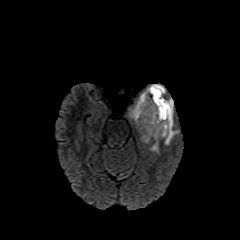
FLAIR MR.
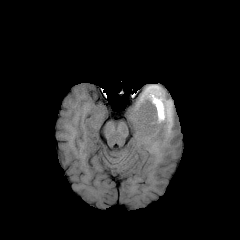
Same slice, T1-weighted MR image.
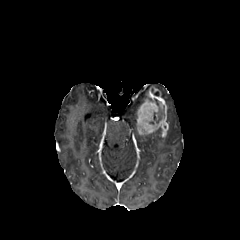
Post-contrast T1-weighted MRI.
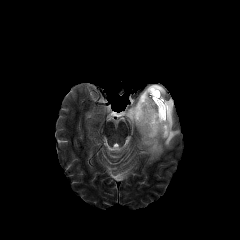
T2-weighted MR image.
Image size 240x240; Head
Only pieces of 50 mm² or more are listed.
necrotic tumor core: [x1=154, y1=99, x2=164, y2=122] | peritumoral edema: [x1=128, y1=84, x2=179, y2=154] | enhancing tumor: [x1=136, y1=87, x2=168, y2=137]